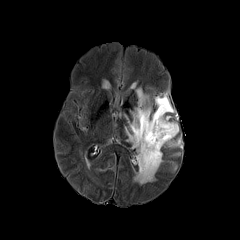
FLAIR MR image.
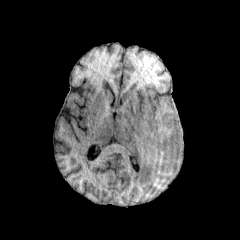
Same slice, T1-weighted MRI.
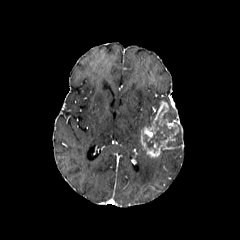
Same slice, post-contrast T1-weighted MR image.
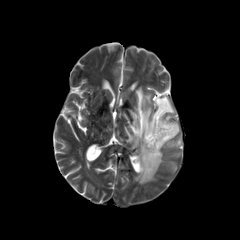
Same slice, T2-weighted magnetic resonance.
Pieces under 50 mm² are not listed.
2 peritumoral edema regions are bounded by [125, 88, 169, 184], [170, 137, 181, 147]. The largest enhancing tumor region lies within [140, 101, 178, 157]. The 2 largest necrotic tumor core regions appear at [143, 117, 176, 152], [162, 104, 177, 122].